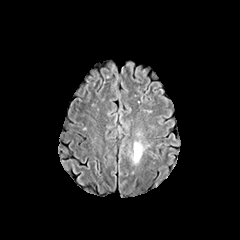
FLAIR MR image.
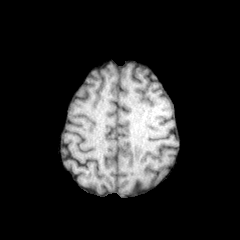
T1-weighted magnetic resonance.
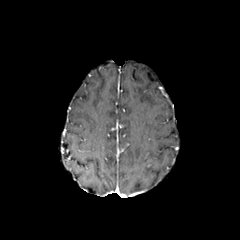
Post-contrast T1-weighted magnetic resonance.
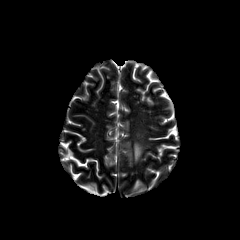
T2-weighted MRI.
Axial slice
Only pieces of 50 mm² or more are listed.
peritumoral edema: region(130, 141, 144, 163)